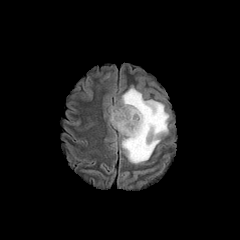
FLAIR magnetic resonance.
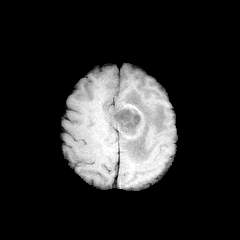
Same slice, T1-weighted MRI.
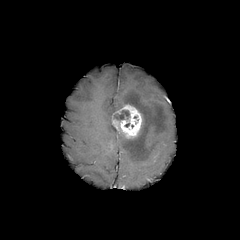
Post-contrast T1-weighted MR of the same slice.
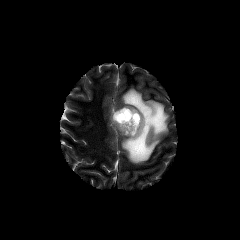
T2-weighted MRI of the same slice.
Axial plane; Brain
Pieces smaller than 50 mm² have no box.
The largest necrotic tumor core region appears at left=114, top=110, right=129, bottom=119. The peritumoral edema is located at left=109, top=87, right=169, bottom=164. The enhancing tumor is bounded by left=112, top=105, right=142, bottom=138.